240x240 px. Axial slice. Slice index 136.
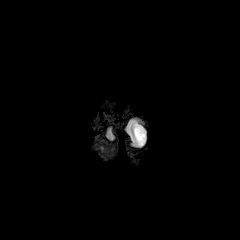
FLAIR magnetic resonance.
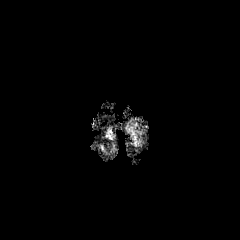
Same slice, T1-weighted MR image.
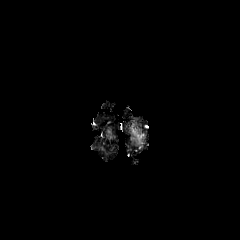
Post-contrast T1-weighted MRI.
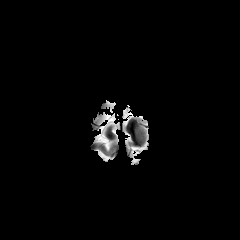
T2-weighted MR image of the same slice.
peritumoral edema: box=[128, 120, 145, 146]